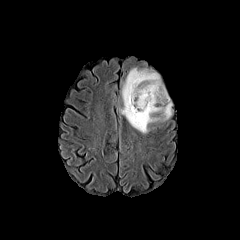
FLAIR MRI.
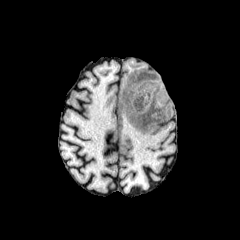
T1-weighted magnetic resonance.
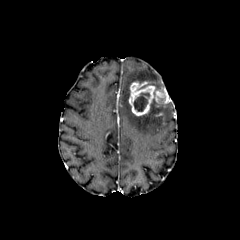
Post-contrast T1-weighted MR image.
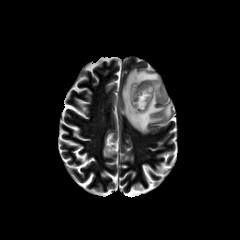
Same slice, T2-weighted MR image.
Axial view
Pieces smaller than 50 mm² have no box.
{
  "necrotic_tumor_core": [
    "(133,92,149,111)"
  ],
  "enhancing_tumor": [
    "(128,81,169,115)"
  ],
  "peritumoral_edema": [
    "(120,68,173,133)"
  ]
}